FLAIR MR.
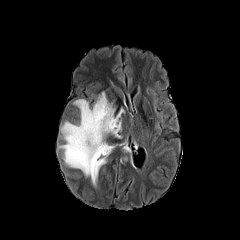
T1-weighted magnetic resonance.
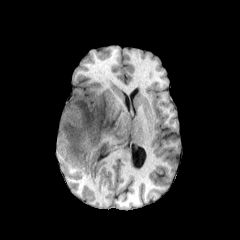
Post-contrast T1-weighted MR.
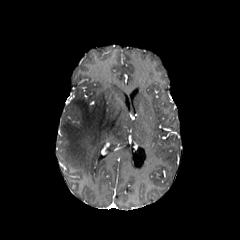
T2-weighted magnetic resonance.
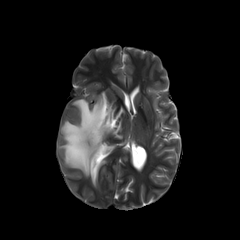
Image size 240x240 | Brain | Axial slice
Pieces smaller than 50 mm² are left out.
peritumoral edema = bbox=[59, 92, 124, 186]